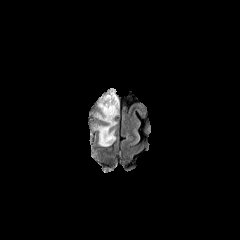
FLAIR MRI.
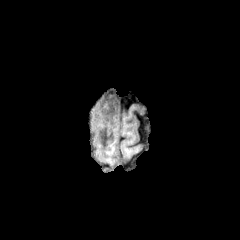
Same slice, T1-weighted magnetic resonance.
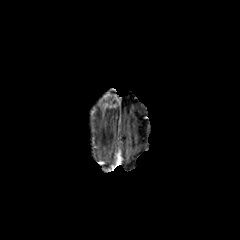
Post-contrast T1-weighted magnetic resonance.
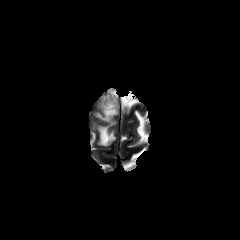
T2-weighted MR image.
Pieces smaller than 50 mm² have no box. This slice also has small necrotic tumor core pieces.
<segmentation>
  <enhancing_tumor>(left=98, top=92, right=119, bottom=109)</enhancing_tumor>
  <peritumoral_edema>(left=95, top=106, right=118, bottom=146)</peritumoral_edema>
</segmentation>